FLAIR magnetic resonance.
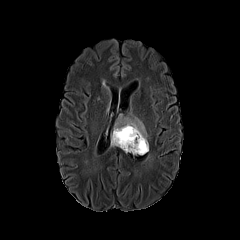
T1-weighted MRI.
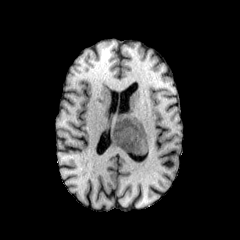
Post-contrast T1-weighted MR.
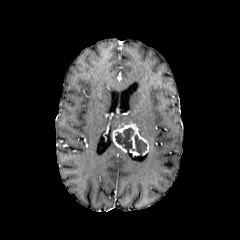
T2-weighted MR image.
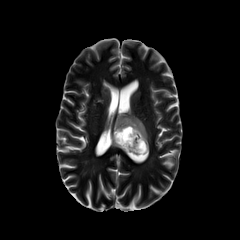
240x240 px. Brain.
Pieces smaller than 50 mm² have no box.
peritumoral edema: [114, 115, 147, 140] | enhancing tumor: [112, 121, 148, 154] | necrotic tumor core: [115, 128, 146, 154]